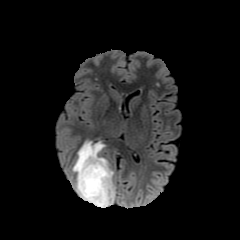
FLAIR magnetic resonance.
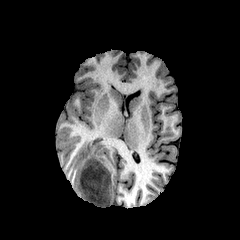
T1-weighted MRI of the same slice.
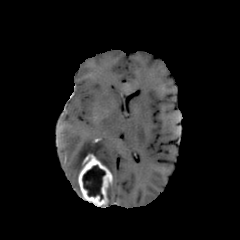
Same slice, post-contrast T1-weighted MRI.
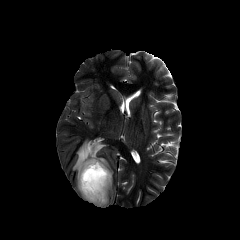
Same slice, T2-weighted MRI.
Axial plane, Head, Image size 240x240
The necrotic tumor core is at l=82, t=165, r=105, b=200. 2 peritumoral edema regions appear at l=72, t=140, r=113, b=197; l=108, t=180, r=115, b=206. The enhancing tumor is located at l=78, t=154, r=112, b=207.